Axial slice
FLAIR MR image.
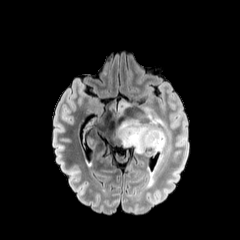
T1-weighted magnetic resonance.
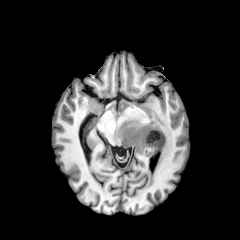
Post-contrast T1-weighted magnetic resonance.
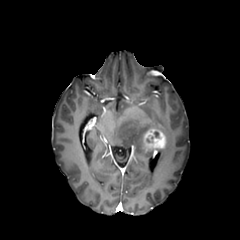
T2-weighted magnetic resonance.
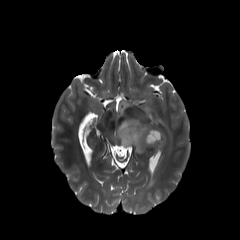
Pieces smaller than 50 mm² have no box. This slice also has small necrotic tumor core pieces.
The enhancing tumor is located at [142,128,166,154]. The 3 largest peritumoral edema regions are located at [119,101,134,113], [117,106,168,154], [148,150,162,185].